Head. Image size 240x240. Axial view.
FLAIR MRI.
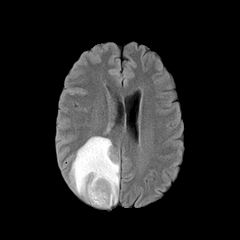
T1-weighted MRI.
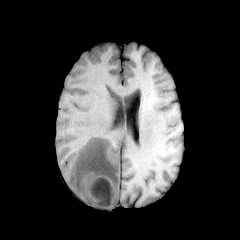
Post-contrast T1-weighted MR image.
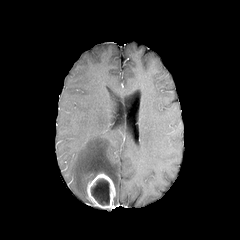
T2-weighted MR image.
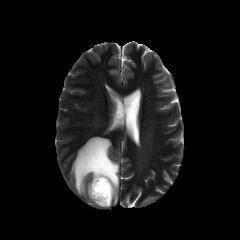
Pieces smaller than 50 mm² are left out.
necrotic tumor core: bounding box rect(91, 179, 109, 205)
peritumoral edema: bounding box rect(70, 136, 119, 204)
enhancing tumor: bounding box rect(87, 173, 115, 208)